Brain. Axial slice.
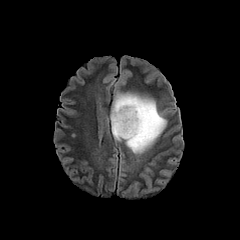
FLAIR MRI.
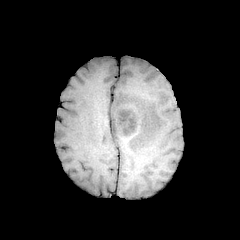
T1-weighted MRI.
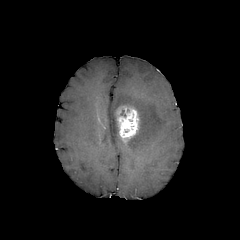
Post-contrast T1-weighted MRI.
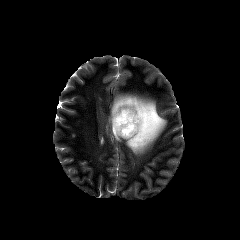
T2-weighted magnetic resonance of the same slice.
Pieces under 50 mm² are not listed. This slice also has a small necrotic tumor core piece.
<segmentation>
  <peritumoral_edema>[110,93,166,154]</peritumoral_edema>
  <enhancing_tumor>[115,105,139,139]</enhancing_tumor>
</segmentation>